FLAIR MR image.
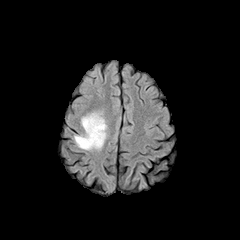
T1-weighted MRI.
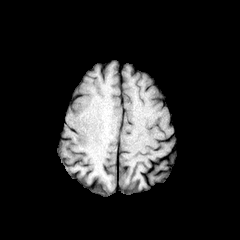
Post-contrast T1-weighted MRI.
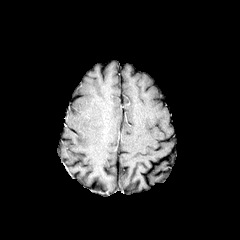
T2-weighted MRI.
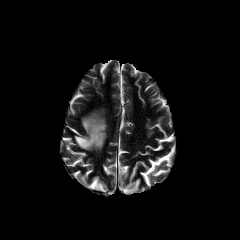
Head
The peritumoral edema is at 74:112:106:150.